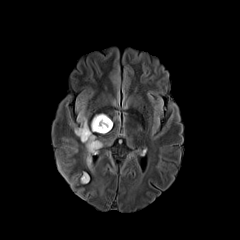
FLAIR MR.
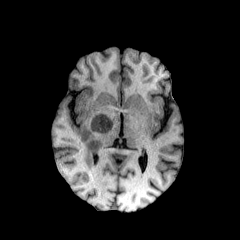
T1-weighted MR image.
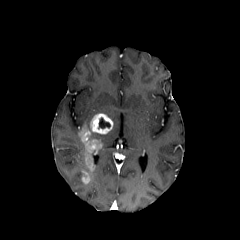
Post-contrast T1-weighted magnetic resonance.
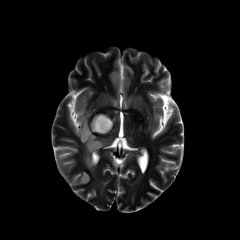
T2-weighted MR.
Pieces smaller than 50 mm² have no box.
The necrotic tumor core is bounded by left=98, top=118, right=110, bottom=128. The largest peritumoral edema region lies within left=74, top=110, right=88, bottom=136. The 2 largest enhancing tumor regions appear at left=78, top=113, right=113, bottom=171; left=82, top=172, right=89, bottom=183.